Slice index 60; Axial plane; Brain
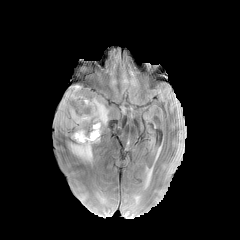
FLAIR MR.
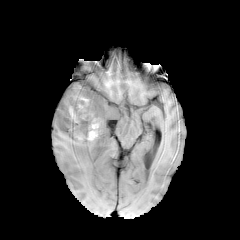
T1-weighted MRI.
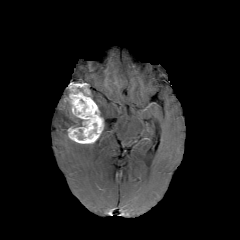
Same slice, post-contrast T1-weighted MR image.
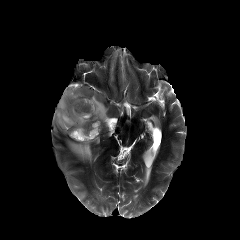
Same slice, T2-weighted magnetic resonance.
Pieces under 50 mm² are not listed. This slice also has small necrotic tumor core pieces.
<segmentation>
  <enhancing_tumor>box(63, 83, 103, 143)</enhancing_tumor>
  <peritumoral_edema>box(56, 100, 82, 130); box(92, 97, 108, 125); box(69, 143, 92, 162)</peritumoral_edema>
</segmentation>